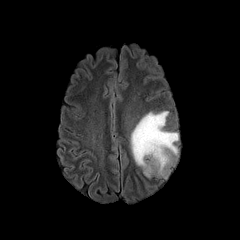
FLAIR MR image.
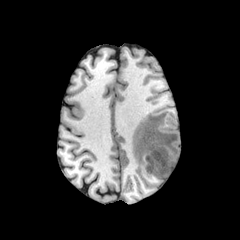
T1-weighted MR.
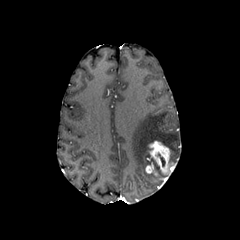
Post-contrast T1-weighted MR.
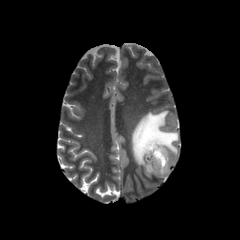
T2-weighted MR image of the same slice.
Brain
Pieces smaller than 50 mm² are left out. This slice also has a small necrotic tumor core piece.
The peritumoral edema is at l=130, t=111, r=178, b=177. 2 enhancing tumor regions appear at l=148, t=140, r=176, b=180; l=145, t=162, r=158, b=176.